FLAIR MR.
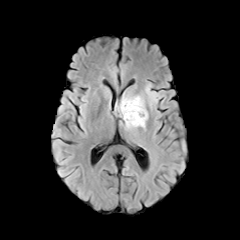
T1-weighted MR.
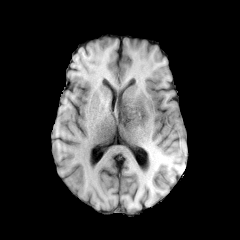
Post-contrast T1-weighted magnetic resonance.
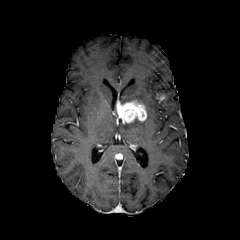
T2-weighted MR image.
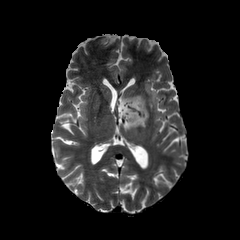
Axial view; 240x240 px
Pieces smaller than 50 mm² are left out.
peritumoral edema = region(124, 111, 148, 130); region(119, 94, 145, 105); region(145, 84, 159, 109)
enhancing tumor = region(116, 99, 147, 123)